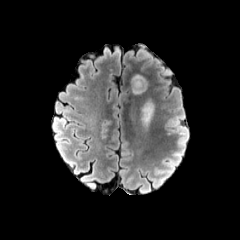
FLAIR MRI.
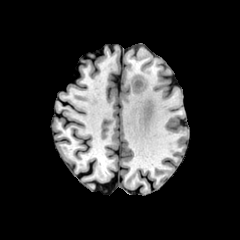
T1-weighted MR image of the same slice.
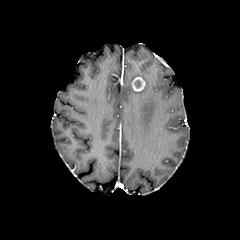
Same slice, post-contrast T1-weighted magnetic resonance.
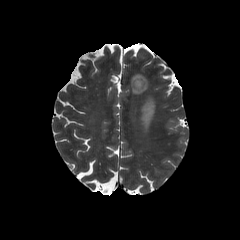
T2-weighted MRI of the same slice.
Image size 240x240 | Axial view | Brain
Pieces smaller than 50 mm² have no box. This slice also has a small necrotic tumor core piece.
{
  "enhancing_tumor": [
    "(left=132, top=77, right=145, bottom=91)"
  ],
  "peritumoral_edema": [
    "(left=141, top=98, right=154, bottom=128)",
    "(left=132, top=74, right=147, bottom=94)"
  ]
}